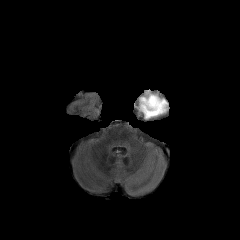
FLAIR magnetic resonance.
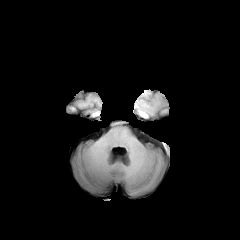
T1-weighted magnetic resonance.
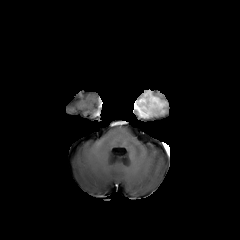
Post-contrast T1-weighted MR of the same slice.
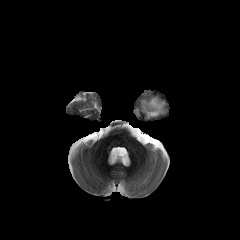
Same slice, T2-weighted magnetic resonance.
Head
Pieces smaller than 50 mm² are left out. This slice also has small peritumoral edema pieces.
The enhancing tumor lies within rect(137, 90, 167, 117).